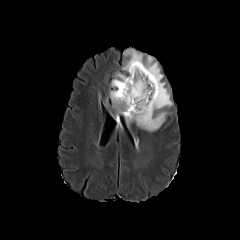
FLAIR MR.
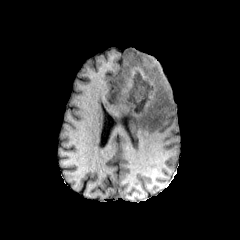
T1-weighted magnetic resonance of the same slice.
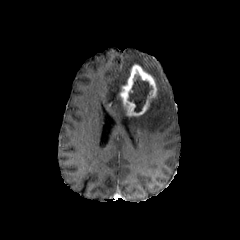
Post-contrast T1-weighted magnetic resonance of the same slice.
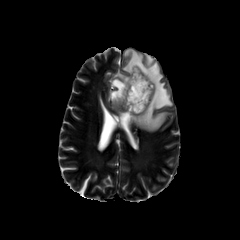
T2-weighted MRI of the same slice.
Axial plane; Head
necrotic tumor core at (left=128, top=76, right=151, bottom=112)
enhancing tumor at (left=119, top=64, right=157, bottom=116)
peritumoral edema at (left=109, top=73, right=128, bottom=118), (left=122, top=48, right=172, bottom=131)